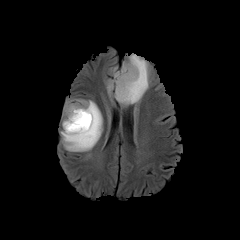
FLAIR MR image.
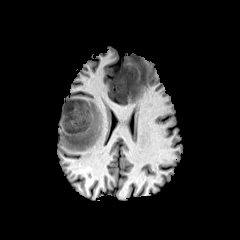
T1-weighted MR of the same slice.
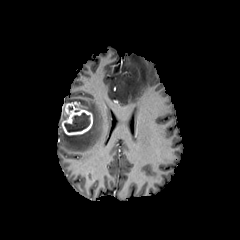
Post-contrast T1-weighted MR image.
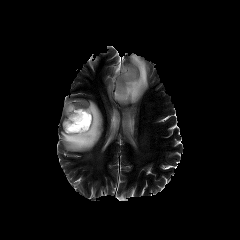
T2-weighted MRI.
Image size 240x240; Brain; Axial plane
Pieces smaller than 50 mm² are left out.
The enhancing tumor appears at [62, 102, 92, 135]. The 2 largest peritumoral edema regions are located at [60, 99, 102, 151], [106, 53, 149, 105]. The largest necrotic tumor core region lies within [64, 113, 90, 132].